FLAIR MR.
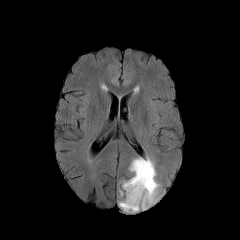
T1-weighted magnetic resonance.
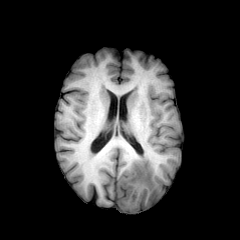
Post-contrast T1-weighted magnetic resonance.
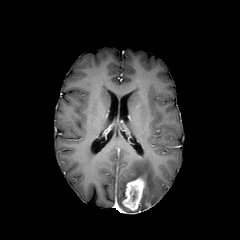
T2-weighted MRI.
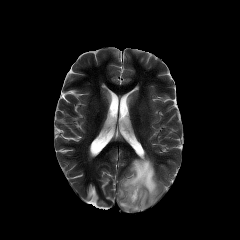
Axial slice
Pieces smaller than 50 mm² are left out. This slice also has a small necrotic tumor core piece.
enhancing tumor = (left=122, top=175, right=146, bottom=211)
peritumoral edema = (left=121, top=157, right=159, bottom=210)